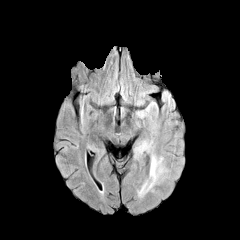
FLAIR MRI.
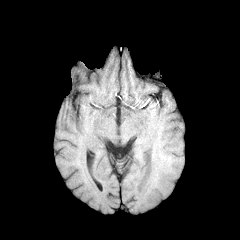
Same slice, T1-weighted MRI.
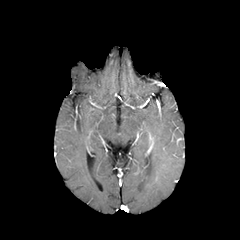
Same slice, post-contrast T1-weighted magnetic resonance.
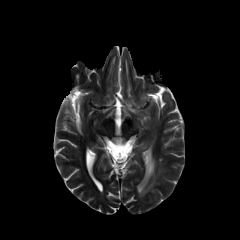
T2-weighted magnetic resonance.
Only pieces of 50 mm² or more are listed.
<segmentation>
  <peritumoral_edema>bbox=[137, 141, 162, 196]; bbox=[137, 104, 158, 114]</peritumoral_edema>
</segmentation>